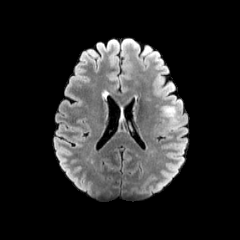
FLAIR MRI.
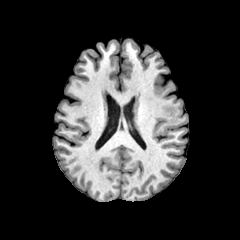
Same slice, T1-weighted magnetic resonance.
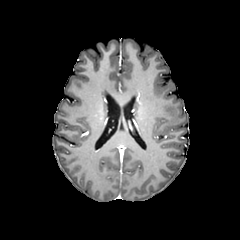
Post-contrast T1-weighted magnetic resonance.
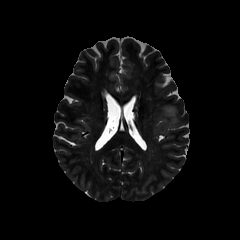
Same slice, T2-weighted magnetic resonance.
240x240
peritumoral_edema:
  - l=161, t=106, r=177, b=125